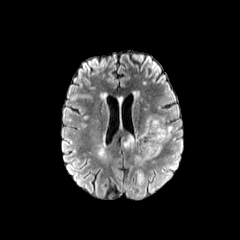
FLAIR MR.
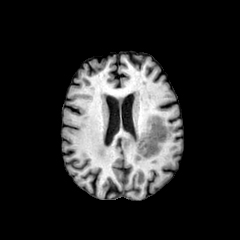
T1-weighted MRI.
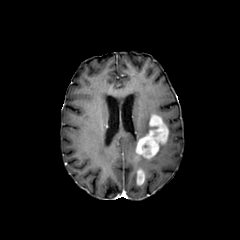
Same slice, post-contrast T1-weighted MR image.
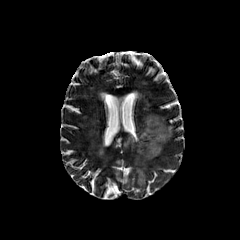
T2-weighted magnetic resonance of the same slice.
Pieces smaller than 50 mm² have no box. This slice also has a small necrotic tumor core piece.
The 2 largest enhancing tumor regions are located at [136,115,168,158], [137,169,144,184]. The 2 largest peritumoral edema regions are bounded by [167,125,173,138], [123,116,157,148].